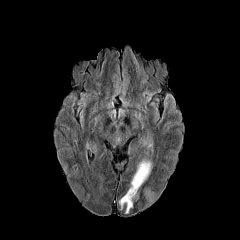
FLAIR MR image.
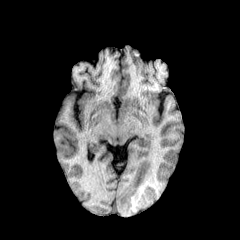
T1-weighted MR image of the same slice.
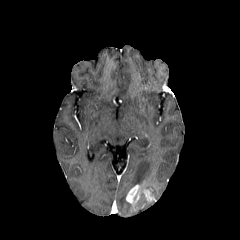
Same slice, post-contrast T1-weighted MR image.
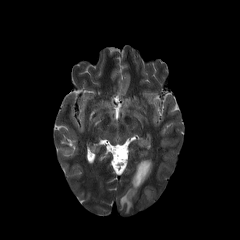
T2-weighted MRI.
Head
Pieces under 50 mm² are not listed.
Annotated regions:
- enhancing tumor: <bbox>126, 184, 139, 203</bbox>, <bbox>144, 190, 153, 201</bbox>
- peritumoral edema: <bbox>119, 193, 132, 213</bbox>, <bbox>130, 159, 152, 188</bbox>